Image size 240x240.
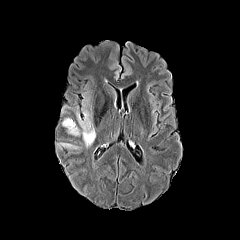
FLAIR MR image.
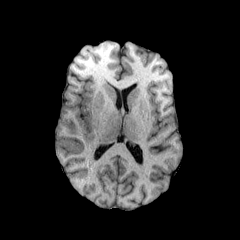
T1-weighted magnetic resonance of the same slice.
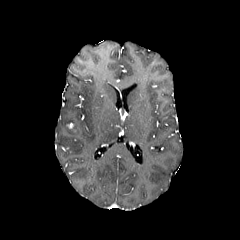
Post-contrast T1-weighted MRI.
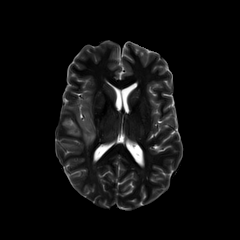
T2-weighted MR image of the same slice.
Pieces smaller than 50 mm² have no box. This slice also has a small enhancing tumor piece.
Segmented structures:
- peritumoral edema: 76 109 95 147, 62 118 79 135